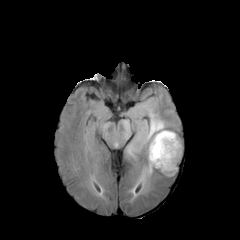
FLAIR MR image.
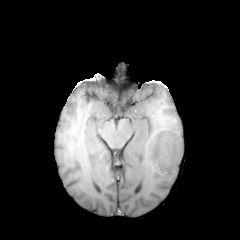
Same slice, T1-weighted MR.
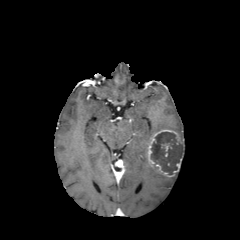
Post-contrast T1-weighted MR.
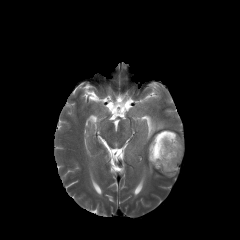
T2-weighted MRI.
Axial view; 240x240; Head
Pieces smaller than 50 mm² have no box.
<segmentation>
  <enhancing_tumor>[147, 129, 184, 176]</enhancing_tumor>
  <necrotic_tumor_core>[150, 132, 182, 174]</necrotic_tumor_core>
  <peritumoral_edema>[130, 162, 158, 198], [127, 103, 167, 158]</peritumoral_edema>
</segmentation>